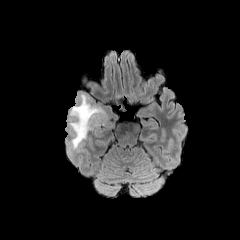
FLAIR MR.
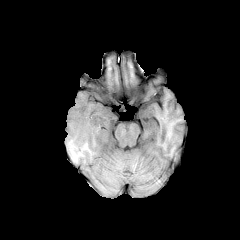
T1-weighted MRI of the same slice.
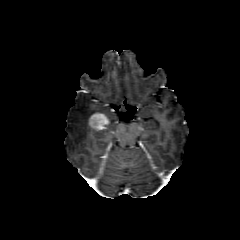
Post-contrast T1-weighted MR image.
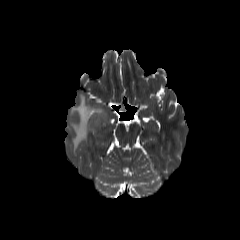
Same slice, T2-weighted MR.
• enhancing tumor: box=[89, 113, 109, 130]
• peritumoral edema: box=[69, 94, 107, 150]